Image width 240 mm, 1.00 mm slice spacing; Slice 37 of 155
FLAIR MRI.
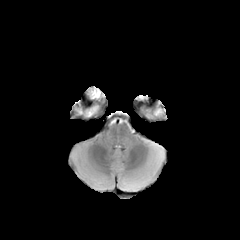
T1-weighted MRI.
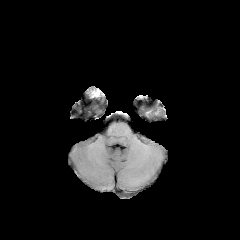
Post-contrast T1-weighted MRI.
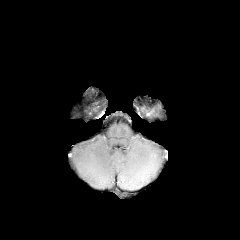
T2-weighted MR.
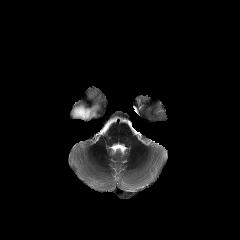
The peritumoral edema is bounded by (x1=70, y1=86, x2=105, y2=119).